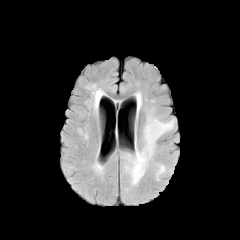
FLAIR MRI.
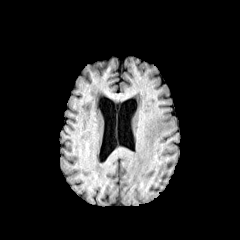
Same slice, T1-weighted MR image.
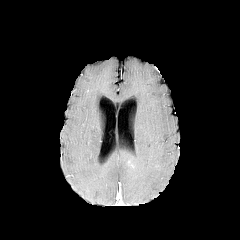
Post-contrast T1-weighted MR.
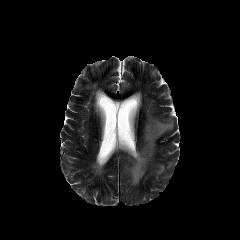
Same slice, T2-weighted MR.
Axial view. Head.
3 peritumoral edema regions are bounded by (x1=137, y1=93, x2=141, y2=110), (x1=156, y1=164, x2=165, y2=179), (x1=124, y1=113, x2=174, y2=185).